Head; Slice 81/155
FLAIR MR.
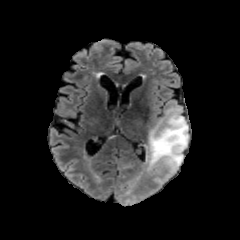
T1-weighted MR image.
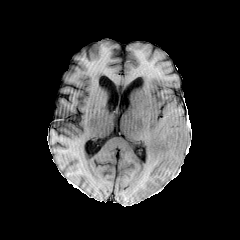
Post-contrast T1-weighted MRI.
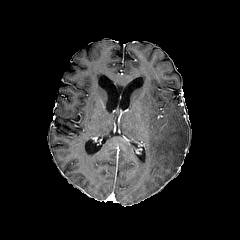
T2-weighted magnetic resonance.
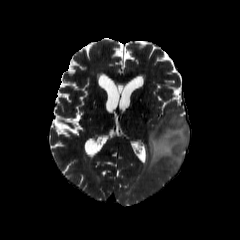
Annotated regions:
* peritumoral edema: {"x1": 146, "y1": 108, "x2": 188, "y2": 175}